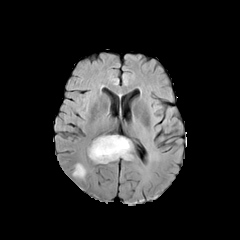
FLAIR magnetic resonance.
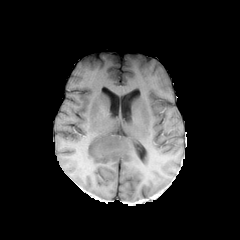
T1-weighted MRI of the same slice.
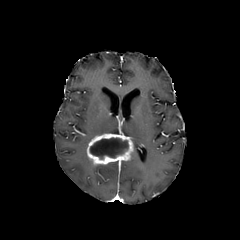
Same slice, post-contrast T1-weighted magnetic resonance.
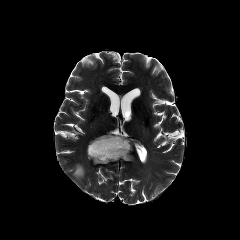
T2-weighted MRI.
Axial view
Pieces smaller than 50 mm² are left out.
The largest peritumoral edema region is bounded by x1=73 y1=164 x2=85 y2=178. The enhancing tumor is bounded by x1=87 y1=134 x2=133 y2=164. The necrotic tumor core is located at x1=90 y1=138 x2=128 y2=158.